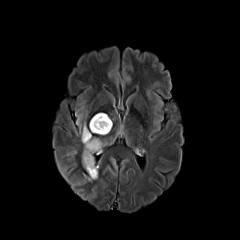
FLAIR MR image.
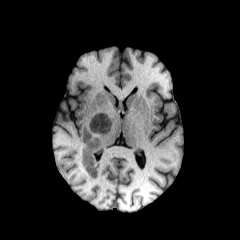
T1-weighted magnetic resonance of the same slice.
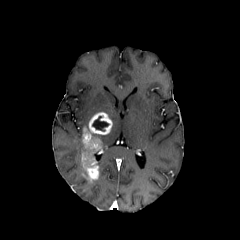
Same slice, post-contrast T1-weighted MRI.
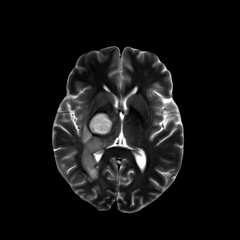
T2-weighted MR image.
Brain.
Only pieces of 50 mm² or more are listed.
peritumoral_edema:
  - l=76, t=113, r=86, b=140
enhancing_tumor:
  - l=81, t=112, r=112, b=181
necrotic_tumor_core:
  - l=92, t=116, r=109, b=131